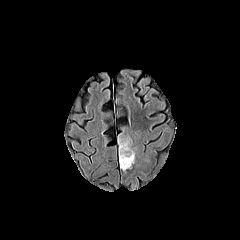
FLAIR magnetic resonance.
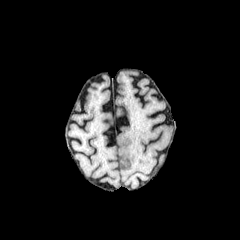
T1-weighted MR image.
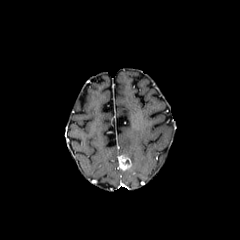
Post-contrast T1-weighted MRI.
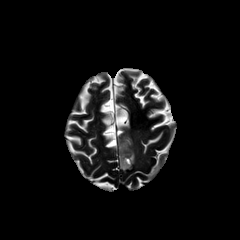
T2-weighted MR.
Head; 240x240 px
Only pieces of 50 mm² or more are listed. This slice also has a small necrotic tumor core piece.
enhancing tumor = 118, 155, 131, 170
peritumoral edema = 118, 138, 134, 163